FLAIR MRI.
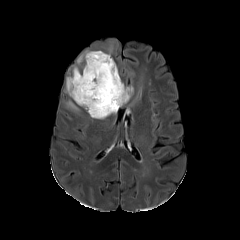
T1-weighted MRI.
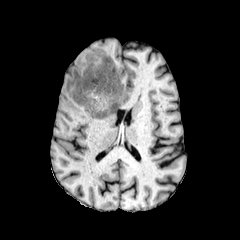
Post-contrast T1-weighted MR.
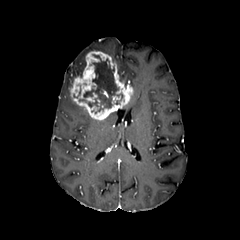
T2-weighted MR image.
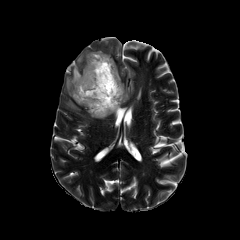
Axial plane.
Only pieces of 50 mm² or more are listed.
necrotic tumor core = {"x1": 83, "y1": 54, "x2": 118, "y2": 108}
enhancing tumor = {"x1": 69, "y1": 51, "x2": 133, "y2": 119}
peritumoral edema = {"x1": 77, "y1": 50, "x2": 90, "y2": 63}, {"x1": 66, "y1": 100, "x2": 79, "y2": 111}, {"x1": 65, "y1": 66, "x2": 82, "y2": 95}